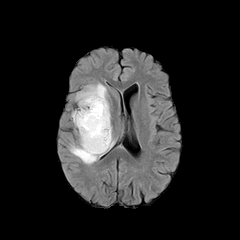
FLAIR magnetic resonance.
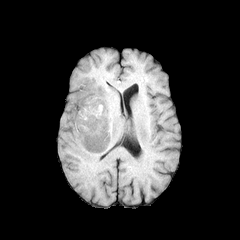
T1-weighted MR image of the same slice.
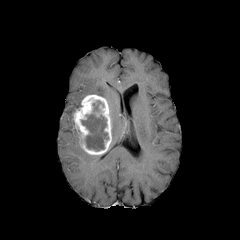
Post-contrast T1-weighted magnetic resonance of the same slice.
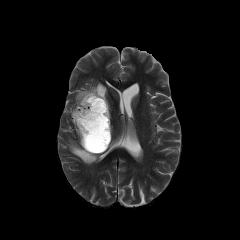
T2-weighted MR image.
Brain. Axial view.
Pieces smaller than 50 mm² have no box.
peritumoral_edema:
  - x1=69 y1=138 x2=100 y2=164
  - x1=75 y1=83 x2=110 y2=109
enhancing_tumor:
  - x1=72 y1=94 x2=111 y2=154
necrotic_tumor_core:
  - x1=93 y1=101 x2=103 y2=112
  - x1=81 y1=114 x2=108 y2=151